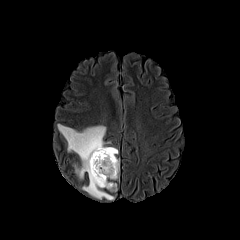
FLAIR MRI.
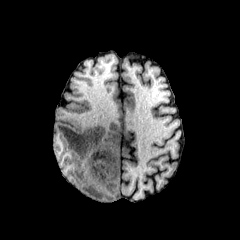
T1-weighted MR of the same slice.
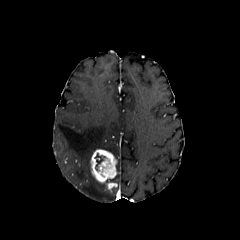
Same slice, post-contrast T1-weighted magnetic resonance.
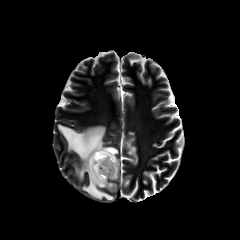
T2-weighted MRI.
Brain
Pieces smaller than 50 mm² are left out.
enhancing tumor = region(90, 149, 117, 191)
peritumoral edema = region(57, 124, 118, 200); region(112, 159, 119, 179)
necrotic tumor core = region(95, 153, 103, 170)